Axial slice. 240x240 px. Slice 70/155.
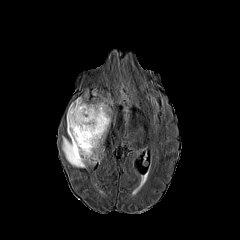
FLAIR MR.
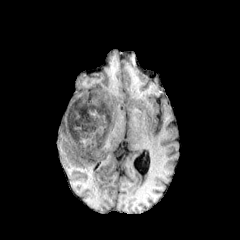
Same slice, T1-weighted MR image.
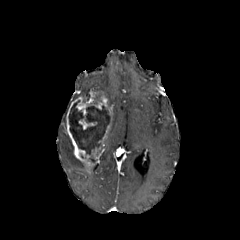
Same slice, post-contrast T1-weighted MRI.
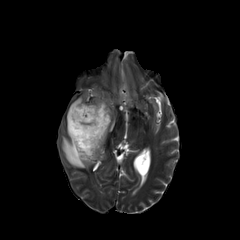
T2-weighted MRI of the same slice.
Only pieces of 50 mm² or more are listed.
- necrotic tumor core: {"x1": 68, "y1": 100, "x2": 110, "y2": 155}
- enhancing tumor: {"x1": 66, "y1": 91, "x2": 112, "y2": 167}
- peritumoral edema: {"x1": 62, "y1": 136, "x2": 86, "y2": 168}